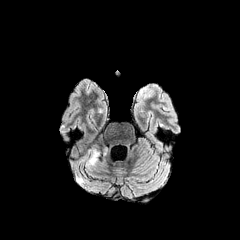
FLAIR MR.
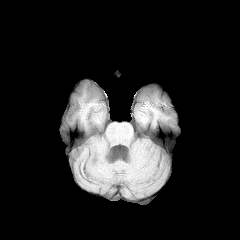
T1-weighted magnetic resonance of the same slice.
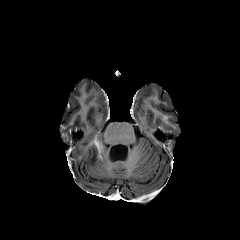
Post-contrast T1-weighted MR.
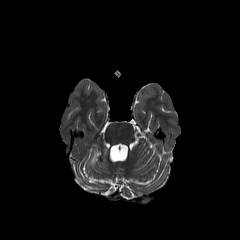
T2-weighted magnetic resonance.
240x240 px. Head.
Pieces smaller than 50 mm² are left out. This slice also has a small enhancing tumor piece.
Annotated regions:
- peritumoral edema: (x1=101, y1=147, x2=107, y2=159), (x1=90, y1=150, x2=99, y2=163)